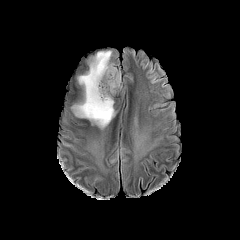
FLAIR MR image.
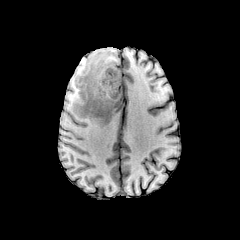
T1-weighted MR of the same slice.
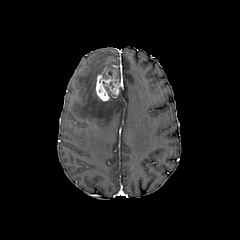
Post-contrast T1-weighted MR image of the same slice.
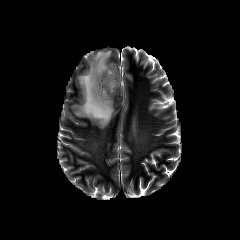
T2-weighted MRI of the same slice.
Brain; Axial slice; Image size 240x240
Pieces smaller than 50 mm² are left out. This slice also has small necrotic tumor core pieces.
<segmentation>
  <enhancing_tumor>96, 65, 122, 101</enhancing_tumor>
  <peritumoral_edema>72, 50, 115, 128</peritumoral_edema>
</segmentation>